Brain | Axial slice
FLAIR MR.
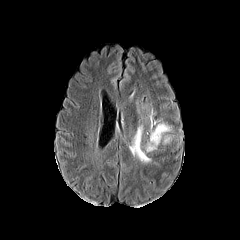
T1-weighted magnetic resonance.
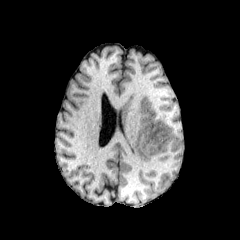
Post-contrast T1-weighted MRI.
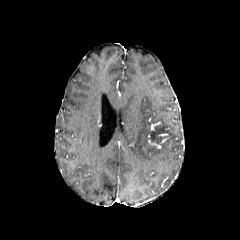
T2-weighted MR.
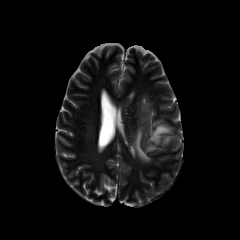
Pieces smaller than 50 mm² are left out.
peritumoral edema: bounding box region(146, 144, 155, 151); region(132, 126, 150, 162); region(150, 123, 170, 144)